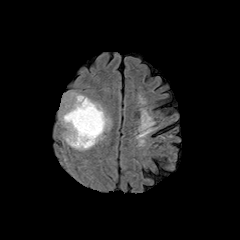
FLAIR MR image.
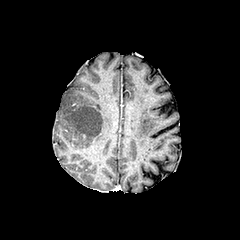
T1-weighted MR.
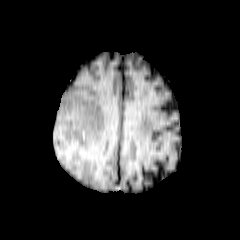
Post-contrast T1-weighted MR.
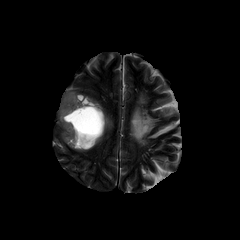
T2-weighted magnetic resonance.
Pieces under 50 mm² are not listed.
The largest necrotic tumor core region is bounded by 64 98 103 147. The peritumoral edema is located at 59 92 110 150.